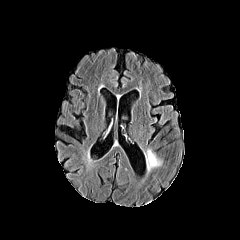
FLAIR MRI.
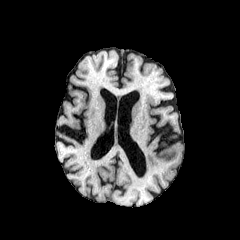
T1-weighted MR image.
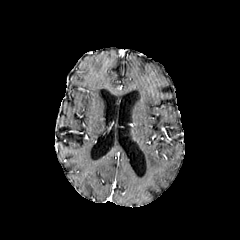
Post-contrast T1-weighted MR image.
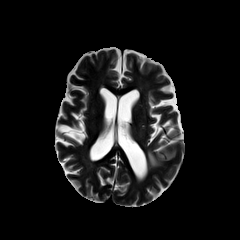
T2-weighted magnetic resonance.
Axial view; Brain
The peritumoral edema is at 146,149,160,170.